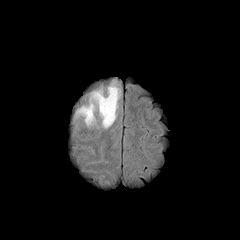
FLAIR MR.
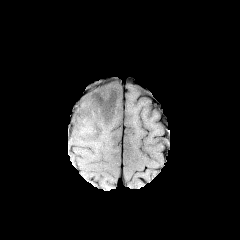
Same slice, T1-weighted magnetic resonance.
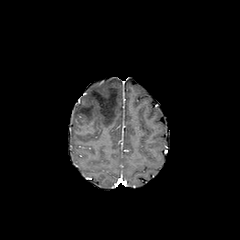
Same slice, post-contrast T1-weighted MR.
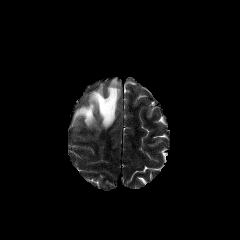
Same slice, T2-weighted MRI.
peritumoral edema at x1=75 y1=80 x2=120 y2=128